Brain, Image width 240 mm, 1.00 mm slice spacing, 240x240
FLAIR MR.
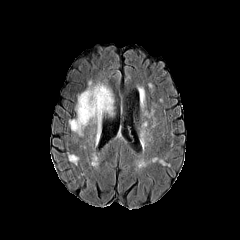
T1-weighted MR.
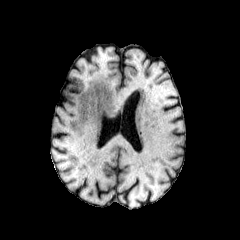
Post-contrast T1-weighted MR image.
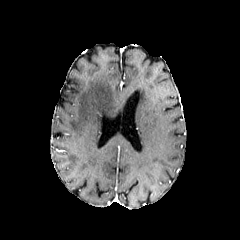
T2-weighted MR image.
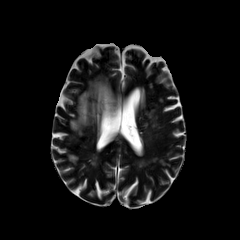
The peritumoral edema lies within (69,81,113,135).